FLAIR MRI.
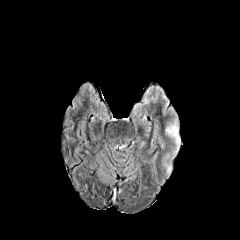
T1-weighted MR.
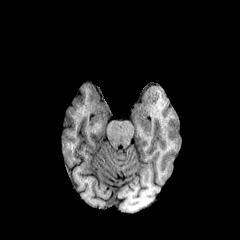
Post-contrast T1-weighted MRI.
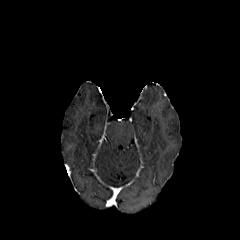
T2-weighted magnetic resonance.
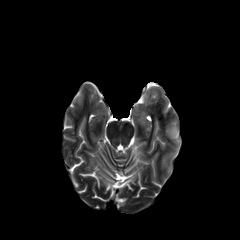
Axial view. 240x240.
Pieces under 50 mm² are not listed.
{"peritumoral_edema": ["165 122 180 143"]}